FLAIR magnetic resonance.
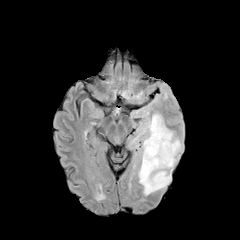
T1-weighted magnetic resonance.
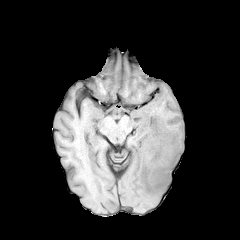
Post-contrast T1-weighted MR image.
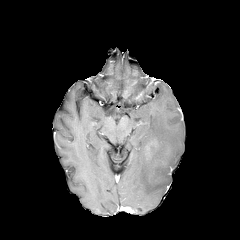
T2-weighted magnetic resonance.
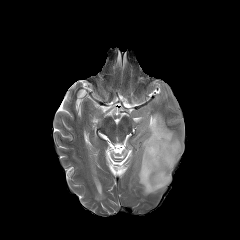
Axial slice.
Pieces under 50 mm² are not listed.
peritumoral edema: <bbox>132, 111, 182, 195</bbox>